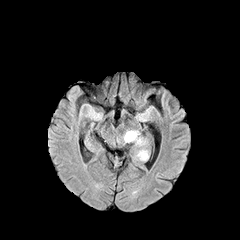
FLAIR MR image.
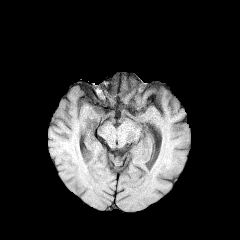
T1-weighted magnetic resonance.
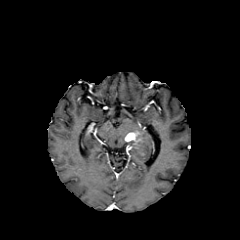
Same slice, post-contrast T1-weighted magnetic resonance.
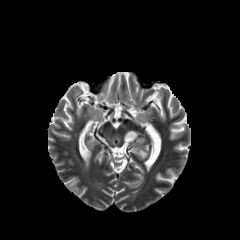
T2-weighted MR image of the same slice.
Head.
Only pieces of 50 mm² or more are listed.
<segmentation>
  <enhancing_tumor>bbox(125, 132, 143, 143)</enhancing_tumor>
  <peritumoral_edema>bbox(137, 149, 148, 160)</peritumoral_edema>
</segmentation>